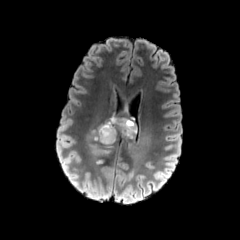
FLAIR MR.
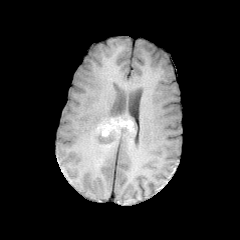
T1-weighted magnetic resonance of the same slice.
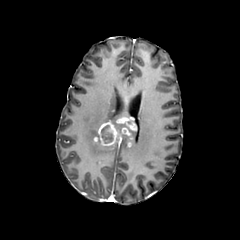
Post-contrast T1-weighted magnetic resonance.
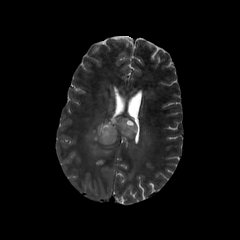
T2-weighted MRI.
Brain | 240x240 px
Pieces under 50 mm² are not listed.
Segmented structures:
- enhancing tumor: <box>93,116,135,145</box>
- necrotic tumor core: <box>101,125,112,143</box>
- peritumoral edema: <box>86,125,112,165</box>, <box>105,115,130,132</box>, <box>126,121,151,163</box>